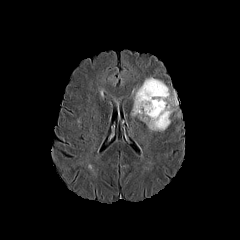
FLAIR MR image.
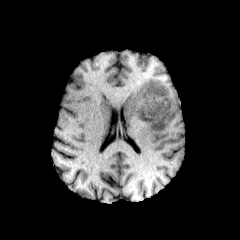
T1-weighted MR image.
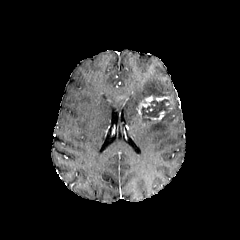
Post-contrast T1-weighted MR of the same slice.
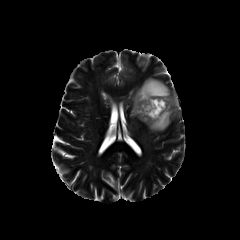
T2-weighted MR image of the same slice.
Head. Axial view.
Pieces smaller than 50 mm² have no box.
The largest peritumoral edema region lies within box=[131, 77, 178, 131]. The largest enhancing tumor region is bounded by box=[137, 96, 173, 123]. The necrotic tumor core lies within box=[141, 99, 169, 121].